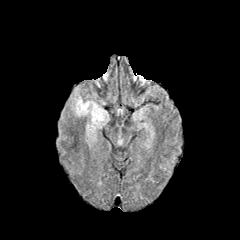
FLAIR MRI.
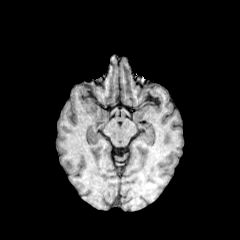
T1-weighted MRI.
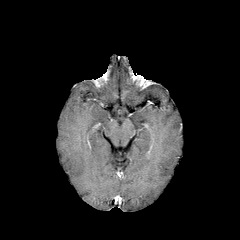
Same slice, post-contrast T1-weighted MRI.
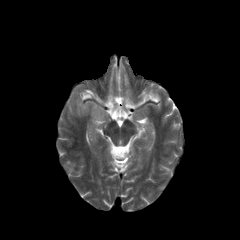
T2-weighted MR of the same slice.
The peritumoral edema lies within l=74, t=95, r=108, b=131.